FLAIR MR image.
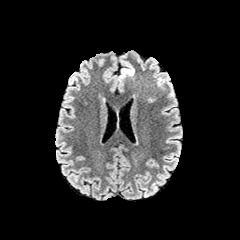
T1-weighted magnetic resonance.
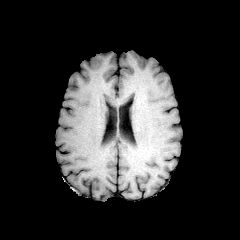
Post-contrast T1-weighted magnetic resonance.
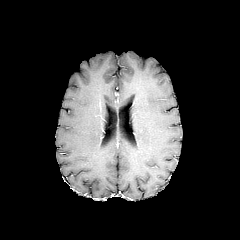
T2-weighted MR.
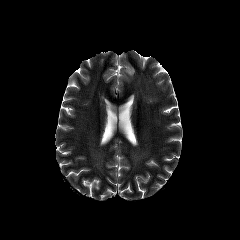
Image size 240x240. Head.
Annotated regions:
* peritumoral edema: region(120, 62, 134, 80)